Slice index 113 | Image size 240x240
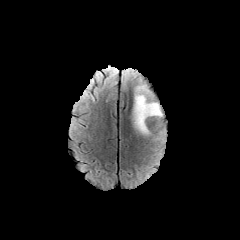
FLAIR MRI.
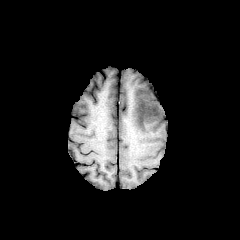
T1-weighted MR image.
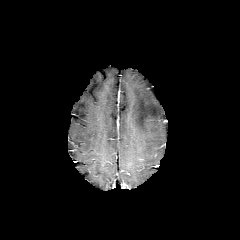
Post-contrast T1-weighted MRI of the same slice.
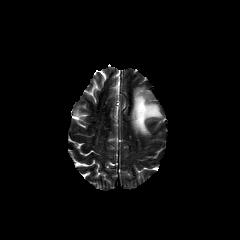
T2-weighted magnetic resonance.
Annotated regions:
- peritumoral edema: l=132, t=85, r=162, b=135